Axial plane
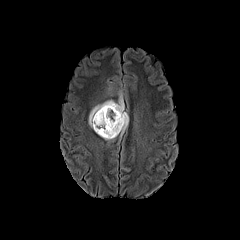
FLAIR MRI.
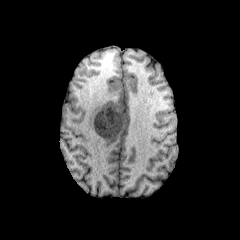
T1-weighted MRI.
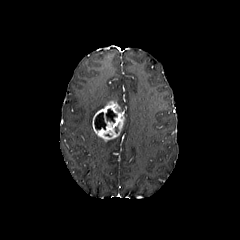
Post-contrast T1-weighted MR image of the same slice.
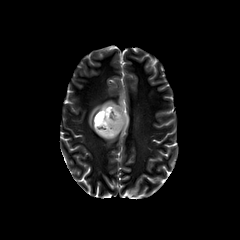
T2-weighted MRI.
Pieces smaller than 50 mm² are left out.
enhancing tumor: box=[92, 100, 125, 140]
necrotic tumor core: box=[94, 112, 106, 129]; box=[106, 109, 116, 122]
peritumoral edema: box=[117, 92, 124, 110]; box=[119, 112, 128, 137]; box=[88, 100, 111, 128]